Image width 240 mm, 1.00 mm slice spacing. Brain. Axial view.
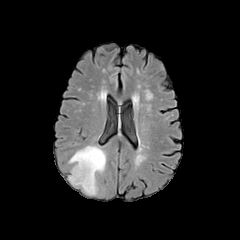
FLAIR magnetic resonance.
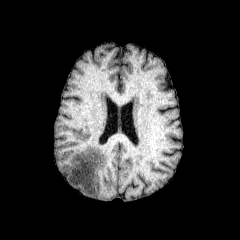
T1-weighted MR image.
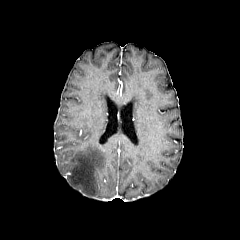
Post-contrast T1-weighted MR.
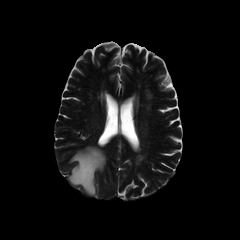
T2-weighted magnetic resonance.
The peritumoral edema is bounded by 69 146 106 195.